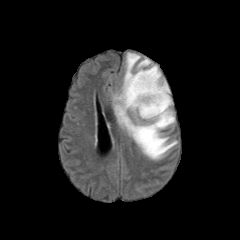
FLAIR MRI.
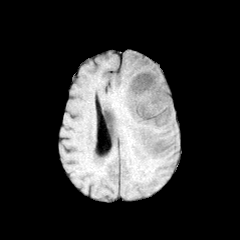
T1-weighted MRI.
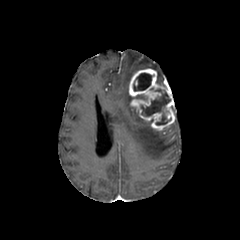
Post-contrast T1-weighted MR image.
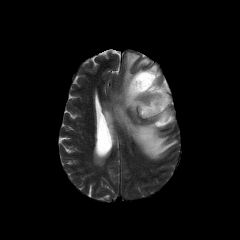
T2-weighted magnetic resonance.
Head | 240x240
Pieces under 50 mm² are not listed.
enhancing tumor: box=[129, 68, 175, 130]
necrotic tumor core: box=[141, 92, 170, 116]; box=[133, 73, 152, 91]; box=[156, 114, 167, 125]
peritumoral edema: box=[112, 52, 177, 159]; box=[149, 65, 164, 83]